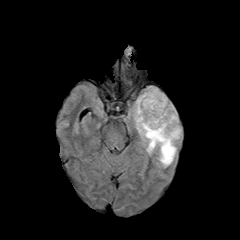
FLAIR MR image.
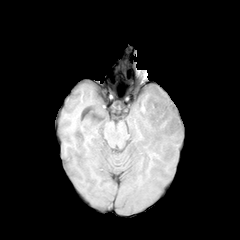
T1-weighted MR of the same slice.
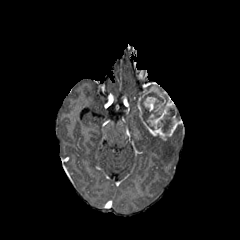
Same slice, post-contrast T1-weighted MR.
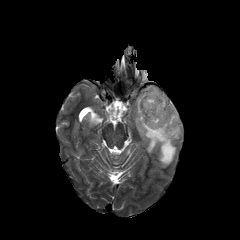
T2-weighted MR.
240x240
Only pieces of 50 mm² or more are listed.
Segmented structures:
• peritumoral edema: box=[133, 99, 181, 167]
• necrotic tumor core: box=[161, 108, 174, 132]; box=[140, 92, 163, 129]
• enhancing tumor: box=[137, 86, 180, 140]